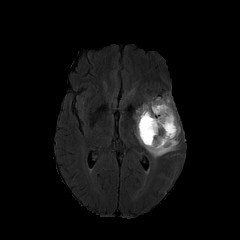
FLAIR MR.
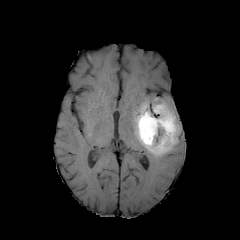
T1-weighted MR.
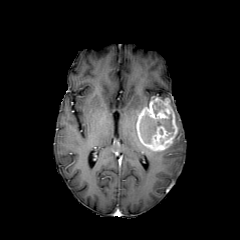
Same slice, post-contrast T1-weighted magnetic resonance.
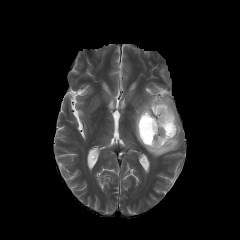
Same slice, T2-weighted MR image.
Axial plane; Brain
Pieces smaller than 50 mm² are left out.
• enhancing tumor: [136,97,177,151]
• necrotic tumor core: [154,103,162,113], [140,115,173,143]
• peritumoral edema: [139,95,180,158], [134,98,151,140]